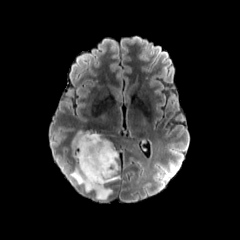
FLAIR MR image.
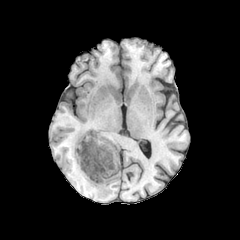
T1-weighted MR image.
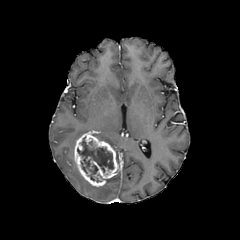
Post-contrast T1-weighted MR image.
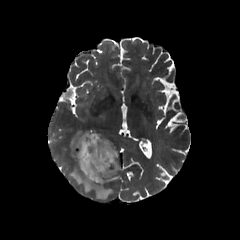
T2-weighted MR.
240x240 px | Axial view
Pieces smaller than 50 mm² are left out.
The largest enhancing tumor region is bounded by (74, 131, 118, 186). The largest necrotic tumor core region lies within (77, 136, 113, 180). The 4 largest peritumoral edema regions appear at (95, 133, 114, 149), (107, 175, 119, 182), (70, 165, 111, 198), (71, 130, 88, 157).